Head, Axial slice, Slice index 99
FLAIR MRI.
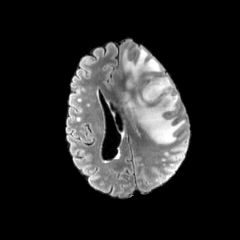
T1-weighted MRI.
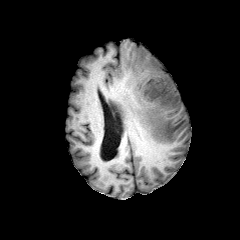
Post-contrast T1-weighted MRI.
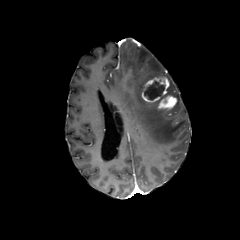
T2-weighted MR.
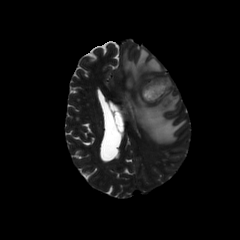
Annotated regions:
• enhancing tumor: (left=141, top=76, right=176, bottom=109)
• necrotic tumor core: (left=144, top=81, right=164, bottom=100)
• peritumoral edema: (left=123, top=47, right=163, bottom=89), (left=121, top=76, right=184, bottom=144)